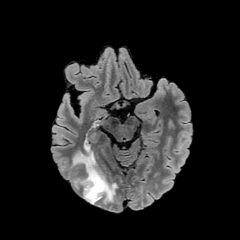
FLAIR MR image.
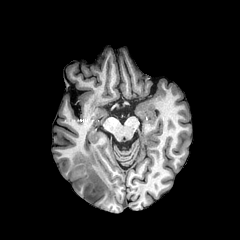
T1-weighted MRI.
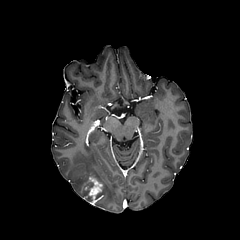
Same slice, post-contrast T1-weighted MR image.
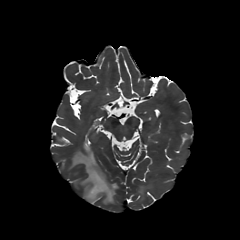
T2-weighted magnetic resonance.
Brain, 240x240 px
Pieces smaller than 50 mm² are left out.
The enhancing tumor is at [x1=84, y1=176, x2=102, y2=204]. The largest peritumoral edema region is at [x1=70, y1=145, x2=117, y2=206].